FLAIR MR image.
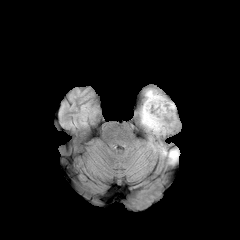
T1-weighted magnetic resonance.
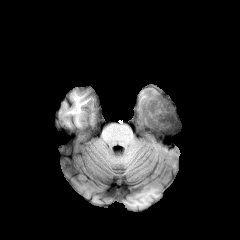
Post-contrast T1-weighted MRI.
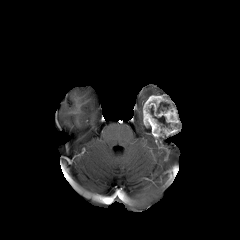
T2-weighted MR.
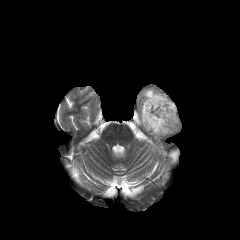
240x240, Axial view
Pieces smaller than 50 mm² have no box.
<segmentation>
  <peritumoral_edema>x1=145 y1=89 x2=160 y2=99, x1=168 y1=149 x2=179 y2=163</peritumoral_edema>
  <necrotic_tumor_core>x1=150 y1=106 x2=169 y2=126, x1=157 y1=102 x2=169 y2=112</necrotic_tumor_core>
  <enhancing_tumor>x1=142 y1=95 x2=180 y2=138</enhancing_tumor>
</segmentation>